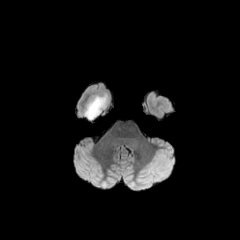
FLAIR MR.
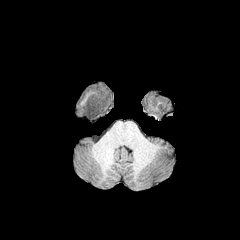
Same slice, T1-weighted magnetic resonance.
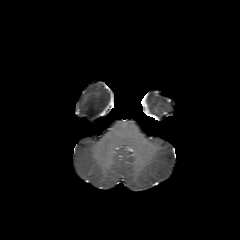
Post-contrast T1-weighted MR image of the same slice.
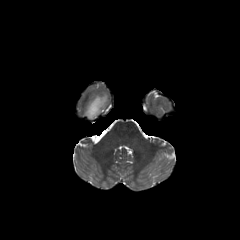
T2-weighted MR.
Brain
{
  "peritumoral_edema": [
    "box(84, 93, 107, 119)"
  ]
}